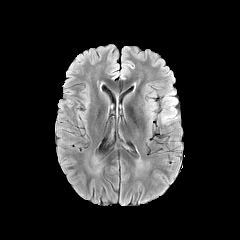
FLAIR MR.
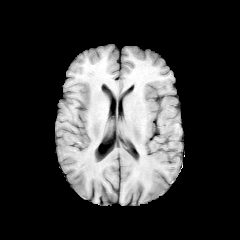
T1-weighted magnetic resonance.
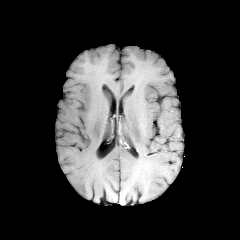
Post-contrast T1-weighted MRI.
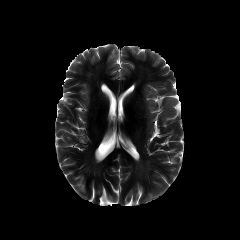
T2-weighted magnetic resonance of the same slice.
Brain | 240x240 px
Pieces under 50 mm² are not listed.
The largest peritumoral edema region appears at [161,92,177,122].